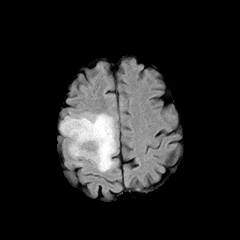
FLAIR magnetic resonance.
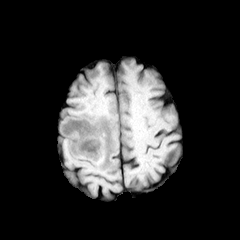
Same slice, T1-weighted MR image.
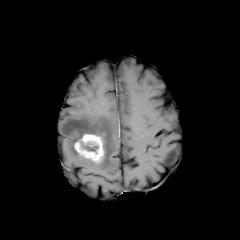
Post-contrast T1-weighted magnetic resonance.
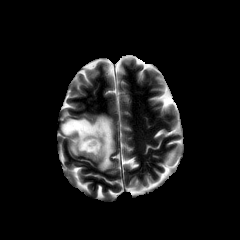
T2-weighted MR of the same slice.
Brain
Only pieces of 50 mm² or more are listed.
The largest peritumoral edema region is located at rect(60, 113, 116, 171). The necrotic tumor core is at rect(80, 139, 98, 153). The enhancing tumor is located at rect(74, 134, 104, 162).